FLAIR MRI.
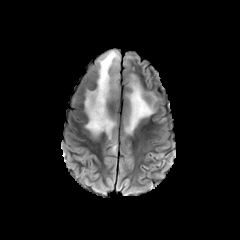
T1-weighted magnetic resonance.
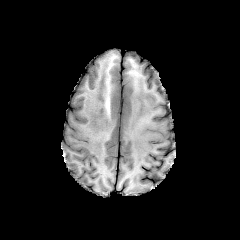
Post-contrast T1-weighted MR.
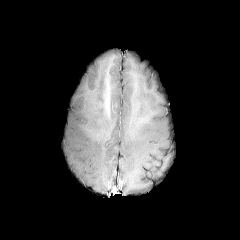
T2-weighted MR image.
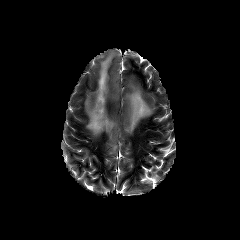
peritumoral_edema:
  - [84,50,120,154]
  - [124,74,156,134]